FLAIR MRI.
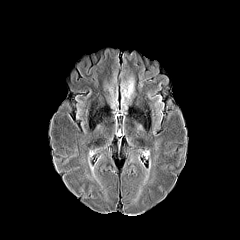
T1-weighted MR.
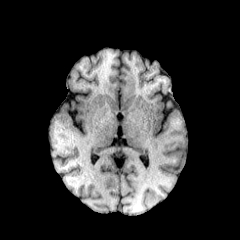
Post-contrast T1-weighted MRI.
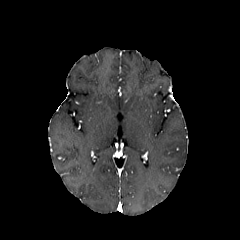
T2-weighted MR image.
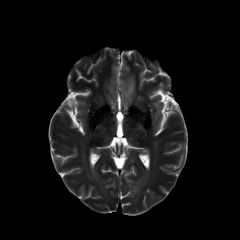
Head
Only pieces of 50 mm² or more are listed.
* peritumoral edema: box=[121, 76, 134, 102]